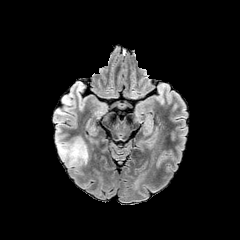
FLAIR MRI.
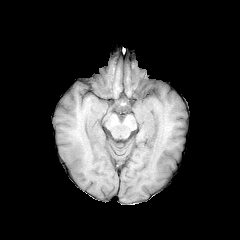
T1-weighted MRI.
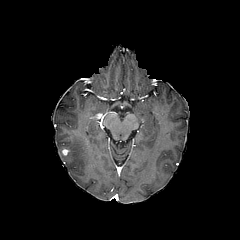
Same slice, post-contrast T1-weighted magnetic resonance.
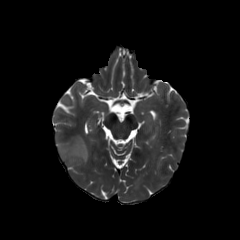
Same slice, T2-weighted MRI.
Head
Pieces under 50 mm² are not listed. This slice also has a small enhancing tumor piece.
Segmented structures:
• peritumoral edema: box=[57, 137, 88, 167]